Head | Slice 93 of 155
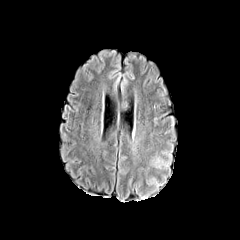
FLAIR MRI.
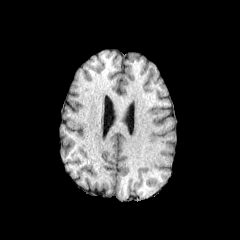
T1-weighted MR image.
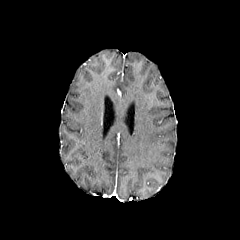
Post-contrast T1-weighted MR of the same slice.
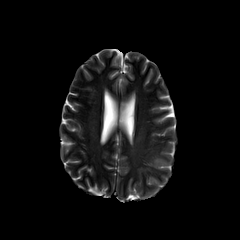
T2-weighted magnetic resonance.
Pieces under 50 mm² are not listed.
peritumoral edema = region(154, 158, 163, 167)